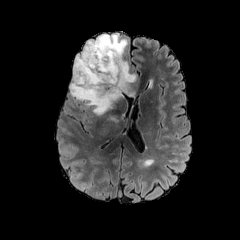
FLAIR MR image.
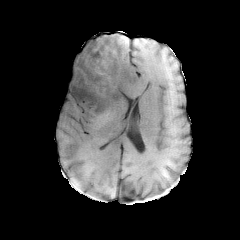
T1-weighted MR.
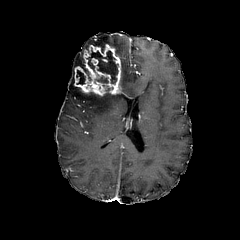
Post-contrast T1-weighted MR.
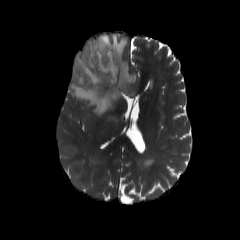
T2-weighted MR image.
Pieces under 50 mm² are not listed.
The largest enhancing tumor region is located at (73,43,121,96). The 2 largest necrotic tumor core regions appear at (87,50,117,83), (76,69,85,84). The peritumoral edema is at (70,34,136,115).